FLAIR MR image.
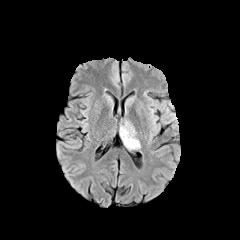
T1-weighted MR.
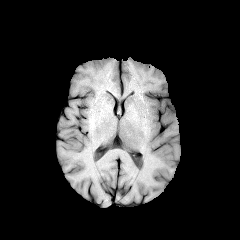
Post-contrast T1-weighted magnetic resonance.
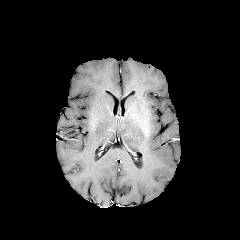
T2-weighted MRI.
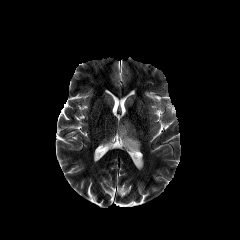
Brain
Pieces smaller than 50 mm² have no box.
The 3 largest peritumoral edema regions are bounded by bbox(150, 109, 156, 130); bbox(158, 102, 176, 121); bbox(120, 122, 140, 149).